FLAIR magnetic resonance.
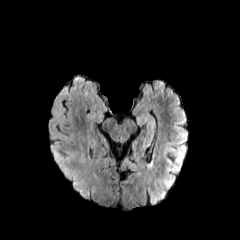
T1-weighted magnetic resonance.
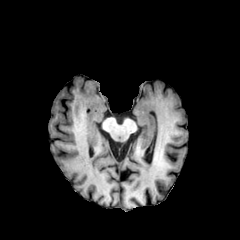
Post-contrast T1-weighted MR.
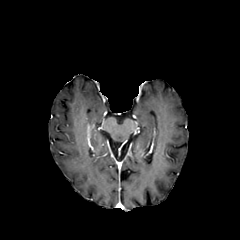
T2-weighted MR.
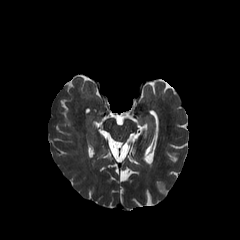
Axial slice | Head
peritumoral edema: {"x1": 50, "y1": 140, "x2": 92, "y2": 200}